FLAIR MR.
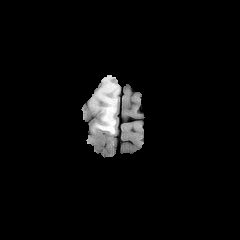
T1-weighted magnetic resonance.
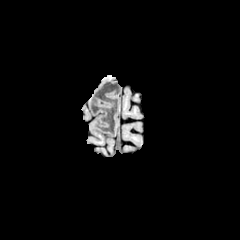
Post-contrast T1-weighted MR.
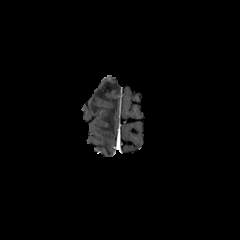
T2-weighted magnetic resonance.
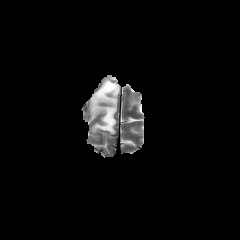
240x240.
The peritumoral edema appears at x1=90, y1=76, x2=119, y2=134.